FLAIR magnetic resonance.
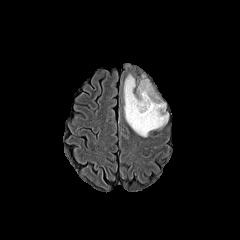
T1-weighted MR image.
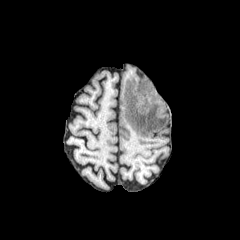
Post-contrast T1-weighted magnetic resonance.
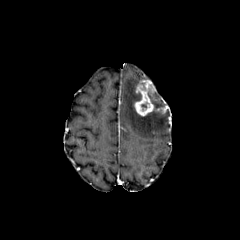
T2-weighted MR.
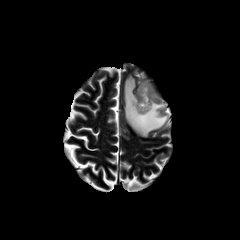
Image size 240x240.
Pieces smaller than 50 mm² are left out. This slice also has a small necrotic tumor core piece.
peritumoral edema — box(151, 100, 166, 109); box(124, 74, 168, 137)
enhancing tumor — box(134, 79, 155, 116)